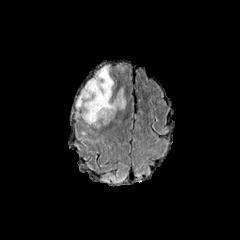
FLAIR MR image.
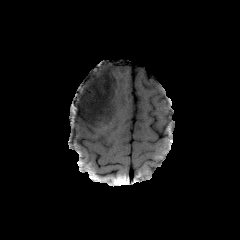
T1-weighted magnetic resonance of the same slice.
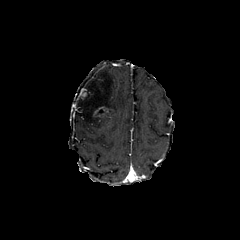
Post-contrast T1-weighted MR of the same slice.
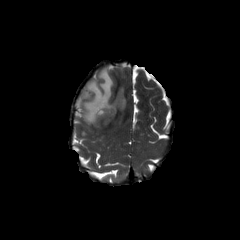
Same slice, T2-weighted MR.
Axial slice; Head; Image size 240x240
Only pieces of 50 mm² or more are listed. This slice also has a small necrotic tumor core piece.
The largest enhancing tumor region is bounded by {"x1": 93, "y1": 106, "x2": 113, "y2": 117}. The peritumoral edema is located at {"x1": 74, "y1": 66, "x2": 126, "y2": 127}.